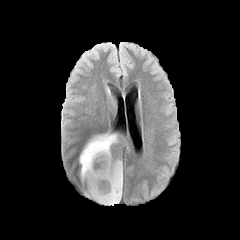
FLAIR magnetic resonance.
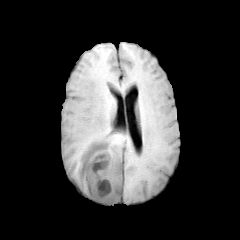
T1-weighted MRI.
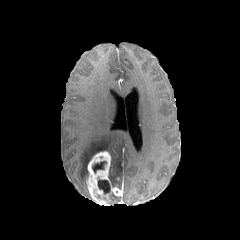
Post-contrast T1-weighted MRI of the same slice.
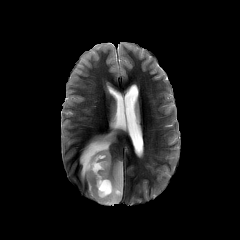
T2-weighted MR image of the same slice.
Head. Image size 240x240.
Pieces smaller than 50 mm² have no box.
Annotated regions:
- peritumoral edema: 111 194 121 203, 109 157 122 188, 79 134 129 180
- necrotic tumor core: 92 161 106 173, 98 179 110 193
- enhancing tumor: 86 151 122 205